FLAIR MRI.
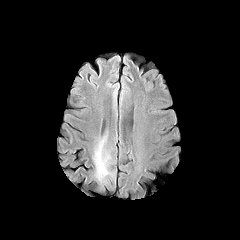
T1-weighted MRI.
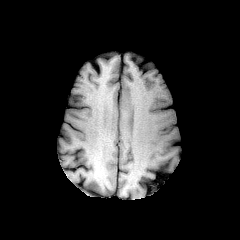
Post-contrast T1-weighted magnetic resonance.
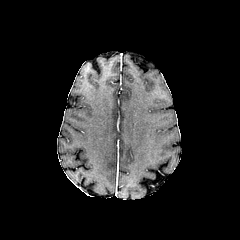
T2-weighted MR.
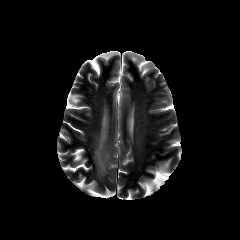
240x240 px. Brain.
peritumoral_edema:
  - [94, 148, 108, 178]